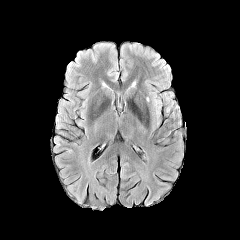
FLAIR MR image.
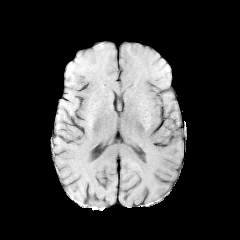
Same slice, T1-weighted MR.
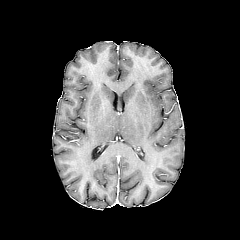
Post-contrast T1-weighted MR.
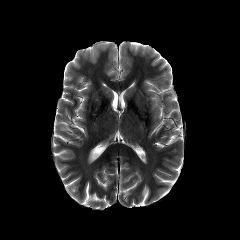
Same slice, T2-weighted MR image.
Head. Axial view. 240x240 px.
{"peritumoral_edema": ["166:93:173:111"]}